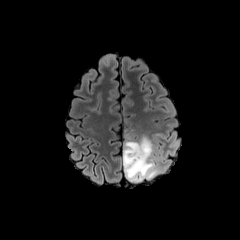
FLAIR MR.
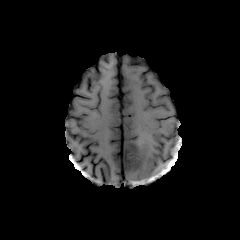
T1-weighted magnetic resonance.
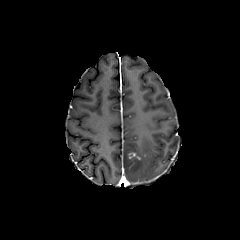
Post-contrast T1-weighted magnetic resonance.
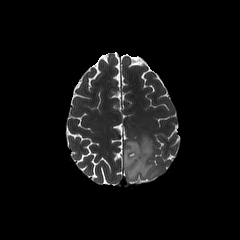
T2-weighted magnetic resonance of the same slice.
Axial plane; 240x240 px
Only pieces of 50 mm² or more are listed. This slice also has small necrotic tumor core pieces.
The peritumoral edema is at <bbox>123, 135, 166, 183</bbox>. The enhancing tumor is bounded by <bbox>128, 152, 140, 159</bbox>.